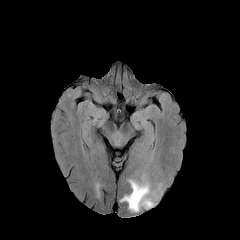
FLAIR MR.
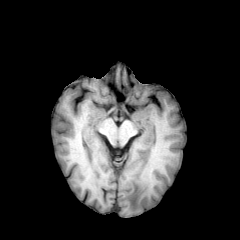
T1-weighted MR.
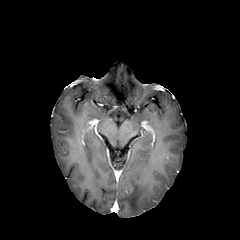
Post-contrast T1-weighted MRI.
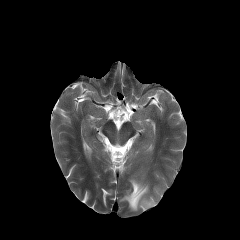
T2-weighted MR.
Head. 240x240 px.
The peritumoral edema is at bbox(120, 179, 154, 211).